FLAIR magnetic resonance.
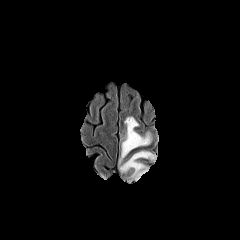
T1-weighted magnetic resonance.
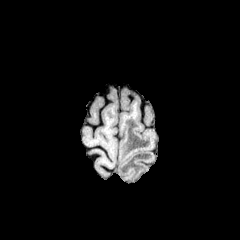
Post-contrast T1-weighted MR.
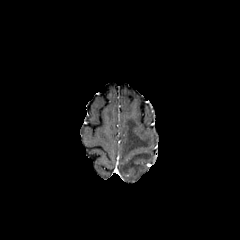
T2-weighted magnetic resonance.
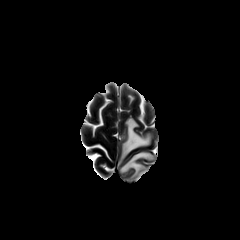
Brain. Axial slice. 240x240 px.
peritumoral edema at 120 151 154 181, 120 117 151 163